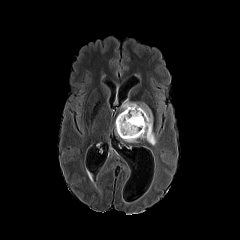
FLAIR MR.
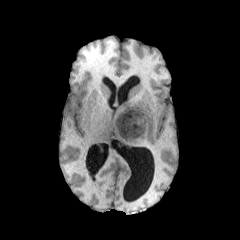
T1-weighted magnetic resonance.
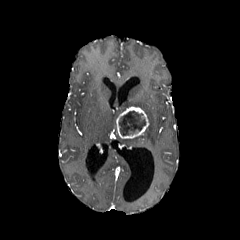
Post-contrast T1-weighted MRI.
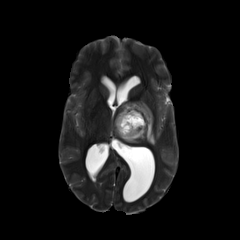
T2-weighted MRI of the same slice.
Head
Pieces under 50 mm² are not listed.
enhancing tumor = box(116, 106, 149, 138)
peritumoral edema = box(121, 102, 156, 145)
necrotic tumor core = box(119, 111, 145, 135)